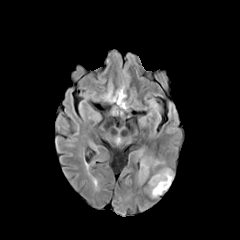
FLAIR magnetic resonance.
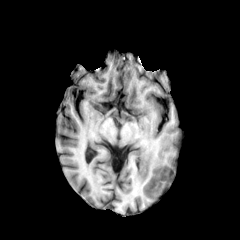
T1-weighted MR of the same slice.
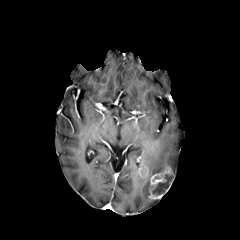
Post-contrast T1-weighted MR image.
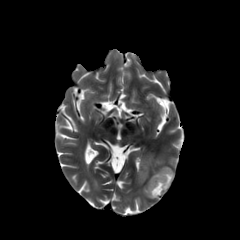
T2-weighted magnetic resonance of the same slice.
Axial plane. Head.
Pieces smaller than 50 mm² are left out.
Segmented structures:
• peritumoral edema: <box>140,155,164,173</box>, <box>137,170,144,182</box>
• necrotic tumor core: <box>153,174,173,194</box>
• enhancing tumor: <box>149,166,173,199</box>, <box>139,166,149,179</box>